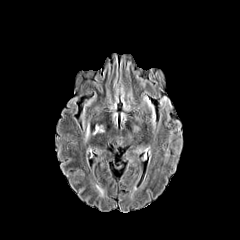
FLAIR MR image.
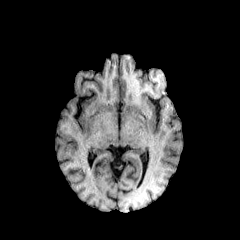
T1-weighted MR image of the same slice.
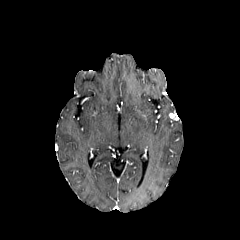
Post-contrast T1-weighted MR.
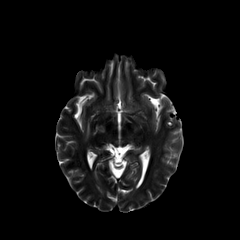
T2-weighted magnetic resonance.
Head
2 peritumoral edema regions are located at 93,126,103,134; 85,123,89,140.